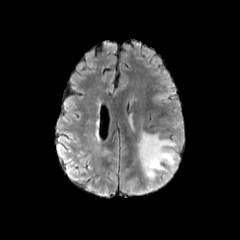
FLAIR magnetic resonance.
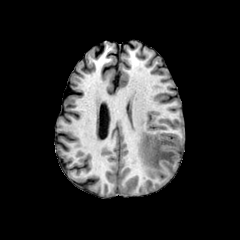
Same slice, T1-weighted MR.
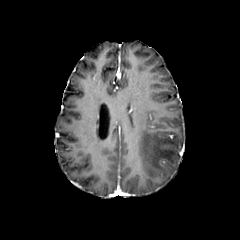
Same slice, post-contrast T1-weighted MR image.
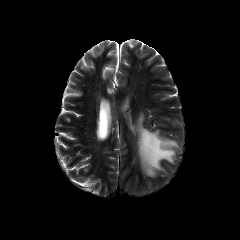
T2-weighted MR.
Image size 240x240
The peritumoral edema appears at rect(138, 131, 176, 177).